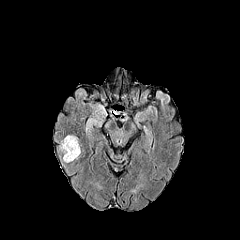
FLAIR MRI.
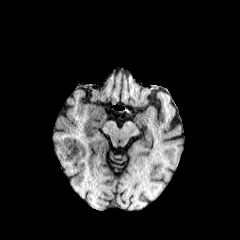
T1-weighted MR.
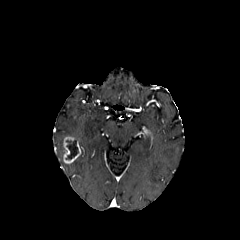
Post-contrast T1-weighted MRI.
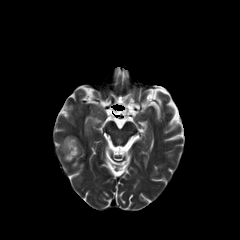
Same slice, T2-weighted MR.
Axial view | 240x240 px
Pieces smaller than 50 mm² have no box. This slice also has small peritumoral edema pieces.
* enhancing tumor: rect(63, 136, 81, 163)
* necrotic tumor core: rect(66, 140, 78, 159)